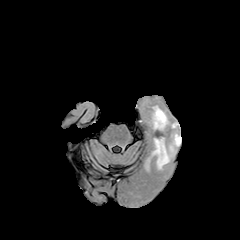
FLAIR magnetic resonance.
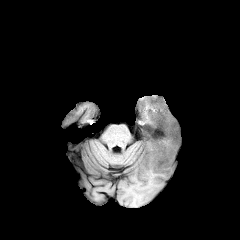
Same slice, T1-weighted MR.
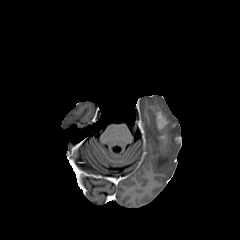
Post-contrast T1-weighted MRI.
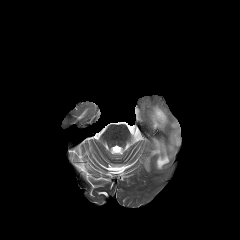
Same slice, T2-weighted MR image.
Head, Axial view
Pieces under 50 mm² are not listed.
<segmentation>
  <enhancing_tumor>left=156, top=111, right=167, bottom=129</enhancing_tumor>
  <peritumoral_edema>left=145, top=105, right=181, bottom=170</peritumoral_edema>
</segmentation>